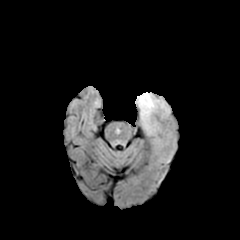
FLAIR MR.
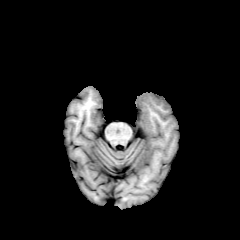
Same slice, T1-weighted MR.
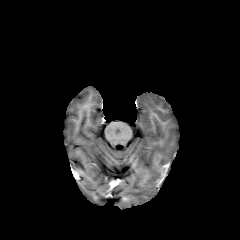
Post-contrast T1-weighted MRI of the same slice.
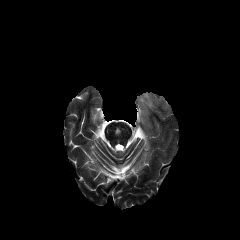
T2-weighted magnetic resonance.
Brain, Image size 240x240
The peritumoral edema appears at 137 92 169 129.